Image covers 240 mm x 240 mm. Slice index 56.
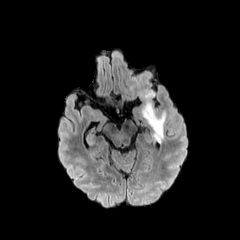
FLAIR MR image.
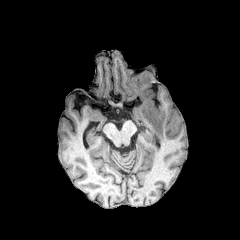
Same slice, T1-weighted MRI.
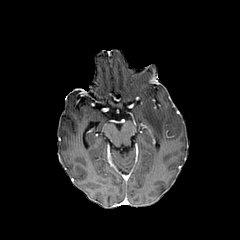
Post-contrast T1-weighted MR.
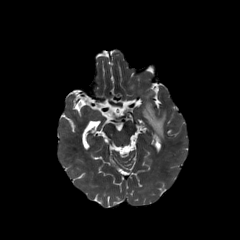
T2-weighted MR image of the same slice.
Annotated regions:
- peritumoral edema: box=[142, 92, 165, 142]